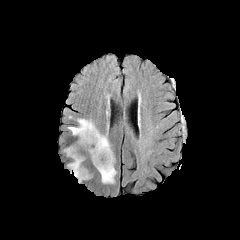
FLAIR MR.
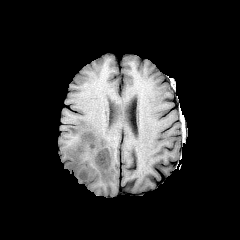
T1-weighted magnetic resonance.
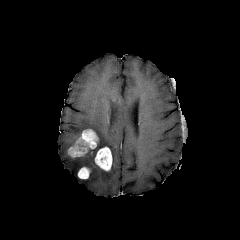
Post-contrast T1-weighted MR.
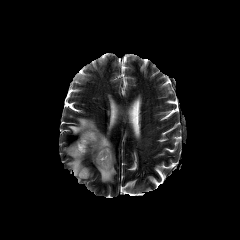
Same slice, T2-weighted MR.
Axial slice
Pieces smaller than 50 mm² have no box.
{"enhancing_tumor": ["bbox(77, 167, 90, 179)", "bbox(67, 129, 98, 157)", "bbox(94, 147, 112, 171)"], "peritumoral_edema": ["bbox(68, 118, 116, 183)", "bbox(67, 156, 84, 182)"]}